Image width 240 mm
FLAIR MR image.
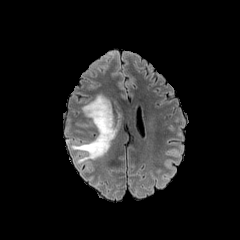
T1-weighted magnetic resonance.
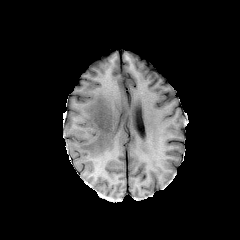
Post-contrast T1-weighted magnetic resonance.
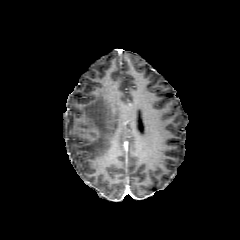
T2-weighted MR image.
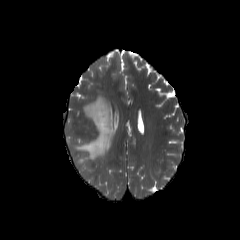
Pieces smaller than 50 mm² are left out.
<segmentation>
  <peritumoral_edema>l=71, t=94, r=116, b=163</peritumoral_edema>
</segmentation>